FLAIR MR image.
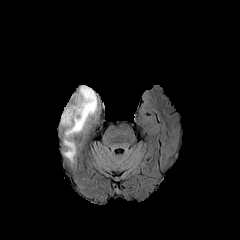
T1-weighted MR.
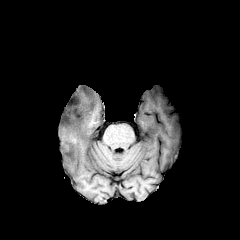
Post-contrast T1-weighted MRI.
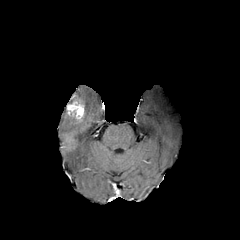
T2-weighted MRI.
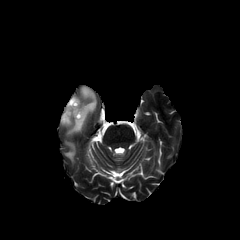
Axial slice.
peritumoral edema: (60,85,98,163)
enhancing tumor: (64,94,85,124)